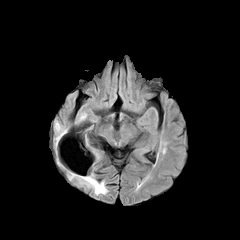
FLAIR MRI.
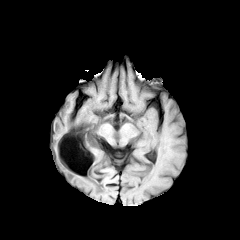
T1-weighted MRI.
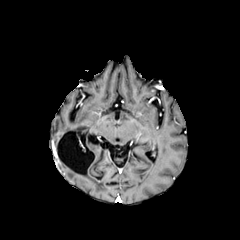
Same slice, post-contrast T1-weighted MR image.
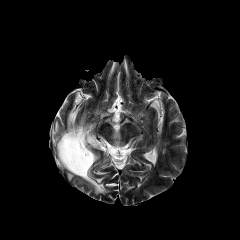
T2-weighted MRI.
Head; Image size 240x240
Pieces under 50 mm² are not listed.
peritumoral edema at (x1=79, y1=174, x2=106, y2=194), (x1=55, y1=122, x2=66, y2=145)